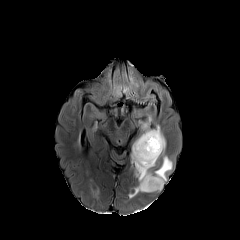
FLAIR MR image.
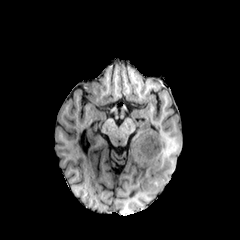
T1-weighted MR.
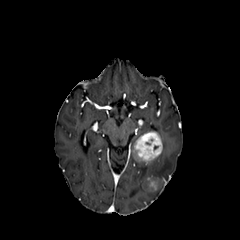
Same slice, post-contrast T1-weighted MRI.
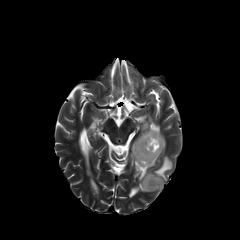
Same slice, T2-weighted MR.
Axial slice; Head; 240x240 px
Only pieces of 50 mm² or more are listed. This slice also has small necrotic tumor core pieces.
Findings:
• peritumoral edema: 143 123 165 153, 132 153 172 192
• enhancing tumor: 147 176 163 191, 133 131 162 164